FLAIR magnetic resonance.
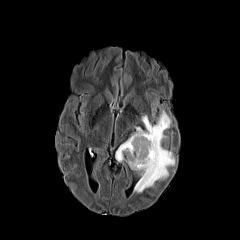
T1-weighted MRI.
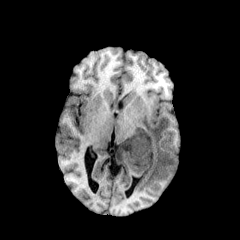
Post-contrast T1-weighted MR image.
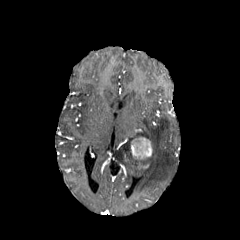
T2-weighted magnetic resonance.
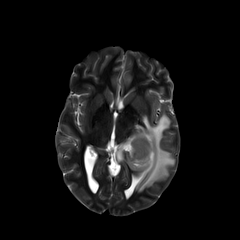
Axial plane, Image size 240x240, Head
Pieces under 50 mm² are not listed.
Annotated regions:
* peritumoral edema: x1=116, y1=111, x2=175, y2=192
* enhancing tumor: x1=131, y1=137, x2=152, y2=159